FLAIR magnetic resonance.
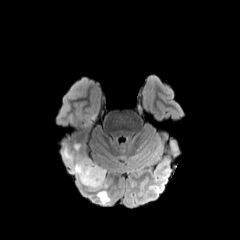
T1-weighted MR.
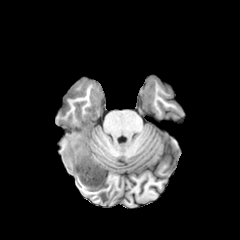
Post-contrast T1-weighted MR image.
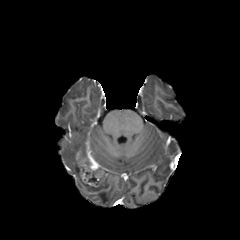
T2-weighted magnetic resonance.
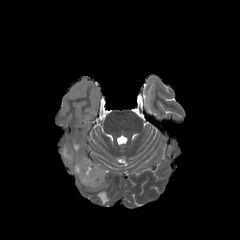
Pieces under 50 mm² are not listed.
peritumoral edema = (61, 141, 109, 204)
enhancing tumor = (78, 155, 104, 187)
necrotic tumor core = (88, 169, 99, 182)